Axial view | Head | 240x240
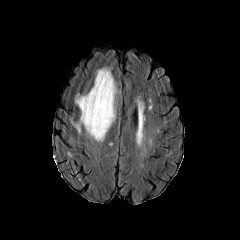
FLAIR MR.
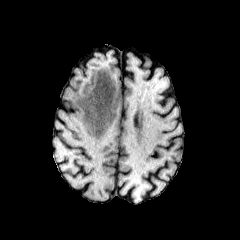
Same slice, T1-weighted MRI.
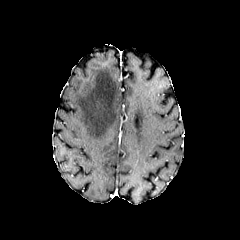
Post-contrast T1-weighted MR image.
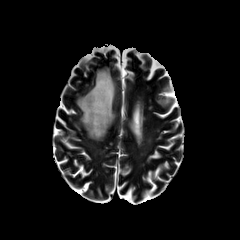
T2-weighted MR image.
peritumoral_edema:
  - left=69, top=67, right=116, bottom=141